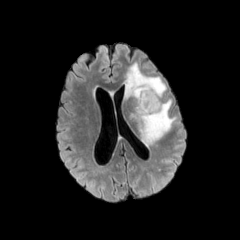
FLAIR MRI.
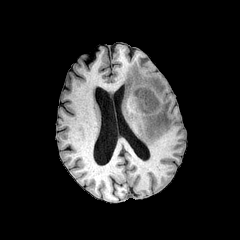
Same slice, T1-weighted MRI.
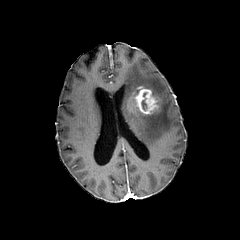
Post-contrast T1-weighted MR.
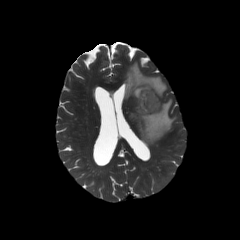
T2-weighted magnetic resonance.
Axial view | Brain | 240x240 px
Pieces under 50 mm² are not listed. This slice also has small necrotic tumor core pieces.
{
  "enhancing_tumor": [
    "[x1=132, y1=86, x2=159, y2=114]"
  ],
  "peritumoral_edema": [
    "[x1=124, y1=62, x2=176, y2=146]"
  ]
}